FLAIR MRI.
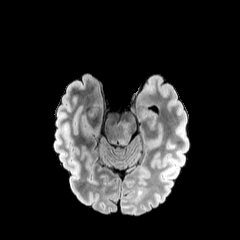
T1-weighted magnetic resonance.
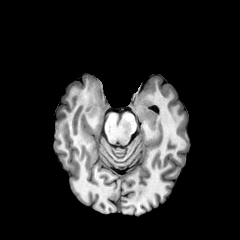
Post-contrast T1-weighted MR.
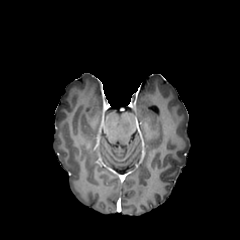
T2-weighted MRI.
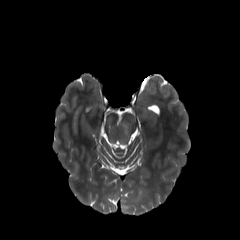
Brain
The peritumoral edema appears at bbox=[123, 122, 129, 133].